FLAIR MRI.
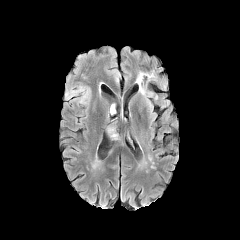
T1-weighted MR image.
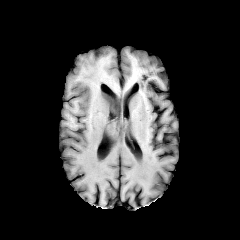
Post-contrast T1-weighted MRI.
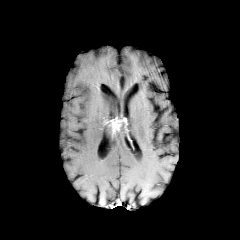
T2-weighted MR image.
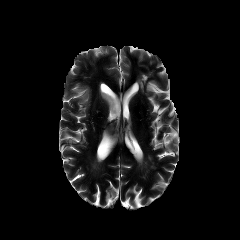
Brain | Axial view | 240x240
peritumoral_edema:
  - x1=107, y1=123, x2=117, y2=139
  - x1=76, y1=87, x2=89, y2=103
enhancing_tumor:
  - x1=111, y1=118, x2=119, y2=130